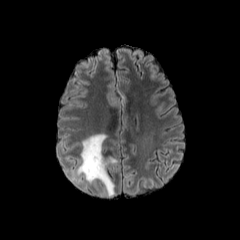
FLAIR MR image.
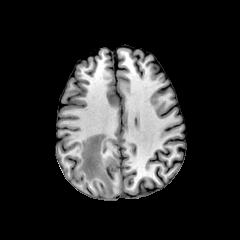
T1-weighted magnetic resonance.
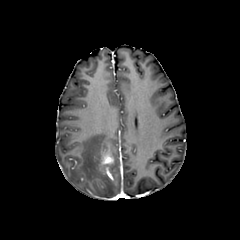
Same slice, post-contrast T1-weighted MRI.
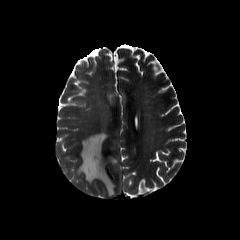
T2-weighted MR image.
Axial view, 240x240 px
peritumoral edema: box=[104, 158, 117, 168]; box=[75, 134, 114, 196]
enhancing tumor: box=[99, 156, 113, 173]